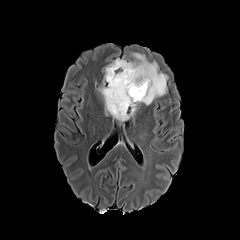
FLAIR MR.
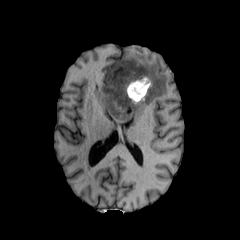
T1-weighted MR image.
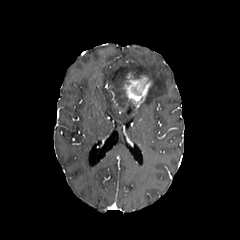
Same slice, post-contrast T1-weighted MR image.
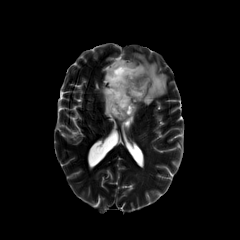
Same slice, T2-weighted MR.
Head | Axial plane
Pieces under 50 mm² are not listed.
peritumoral edema at [101,58,125,85], [128,52,168,105], [97,85,135,125]
necrotic tumor core at [108,61,131,108]
enhancing tumor at [106,85,118,106], [122,72,150,109]